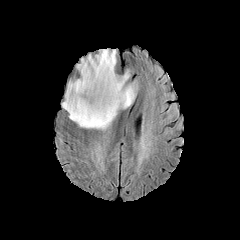
FLAIR magnetic resonance.
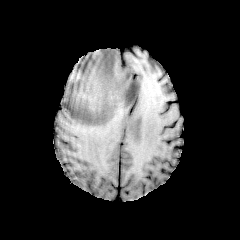
Same slice, T1-weighted MR image.
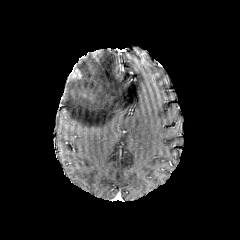
Post-contrast T1-weighted magnetic resonance of the same slice.
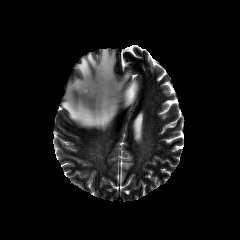
T2-weighted MR.
Head | Axial slice
peritumoral_edema:
  - 62,48,138,130